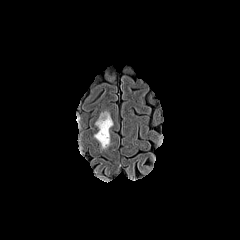
FLAIR MR.
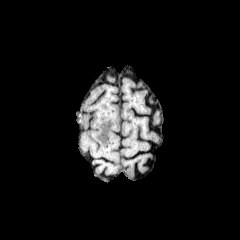
T1-weighted magnetic resonance.
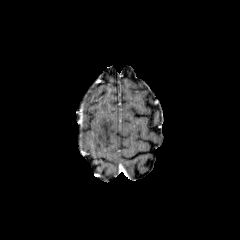
Post-contrast T1-weighted MRI.
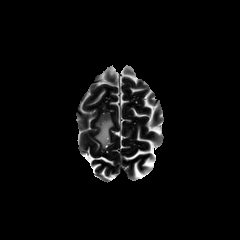
Same slice, T2-weighted MR.
Axial plane | Head
peritumoral edema: bounding box 94,112,113,148